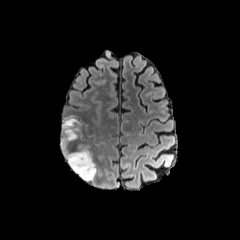
FLAIR MRI.
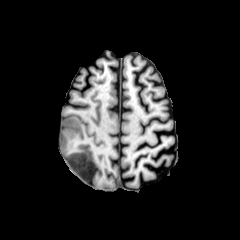
T1-weighted magnetic resonance.
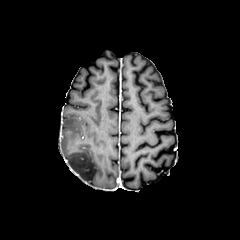
Post-contrast T1-weighted magnetic resonance.
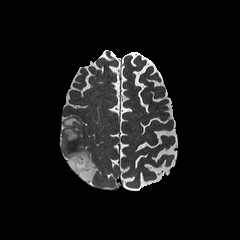
T2-weighted MR.
Head; 240x240
<segmentation>
  <enhancing_tumor>64, 128, 79, 150</enhancing_tumor>
  <peritumoral_edema>61, 115, 96, 181</peritumoral_edema>
</segmentation>